Slice index 44; Image covers 240 mm x 240 mm; Brain
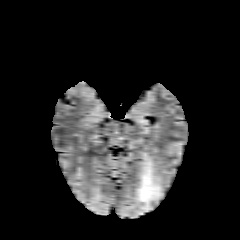
FLAIR MR image.
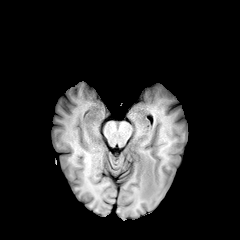
T1-weighted magnetic resonance.
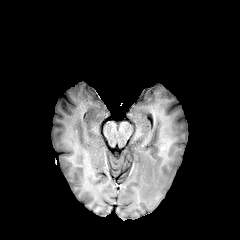
Same slice, post-contrast T1-weighted MRI.
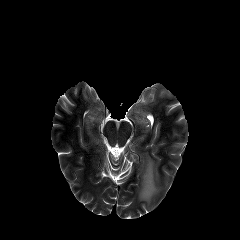
T2-weighted MR image.
{"peritumoral_edema": ["x1=136 y1=154 x2=162 y2=210"]}